Slice 110/155. Axial view. Brain. Image size 240x240.
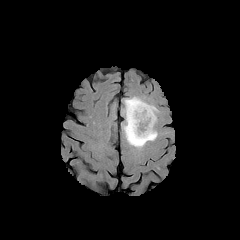
FLAIR MR image.
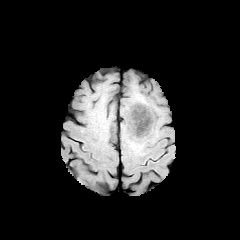
Same slice, T1-weighted MR image.
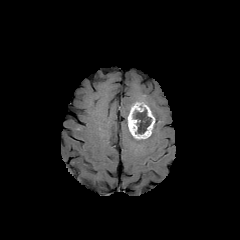
Post-contrast T1-weighted MRI of the same slice.
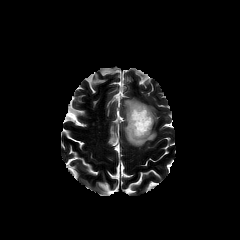
T2-weighted magnetic resonance of the same slice.
Annotated regions:
- enhancing tumor: 127:102:155:140
- peritumoral edema: 122:97:158:148
- necrotic tumor core: 137:120:148:133